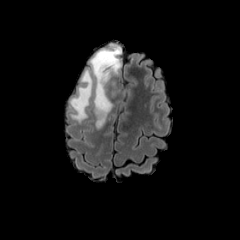
FLAIR magnetic resonance.
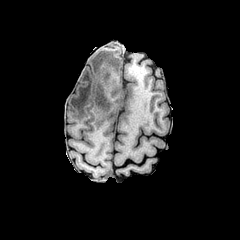
T1-weighted magnetic resonance of the same slice.
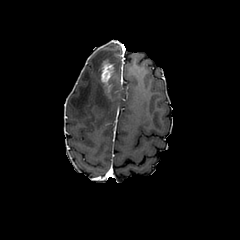
Post-contrast T1-weighted MRI.
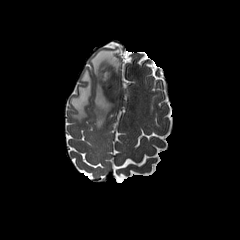
Same slice, T2-weighted MR image.
Axial view | Head
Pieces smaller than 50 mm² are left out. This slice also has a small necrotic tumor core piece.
Annotated regions:
• enhancing tumor: <box>100,60,113,85</box>
• peritumoral edema: <box>90,42,121,128</box>, <box>70,69,92,122</box>